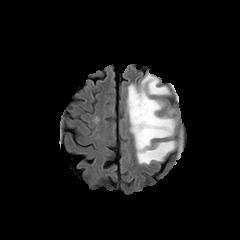
FLAIR magnetic resonance.
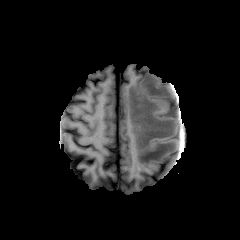
T1-weighted MR image of the same slice.
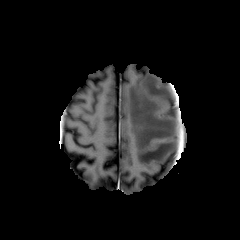
Post-contrast T1-weighted MR image.
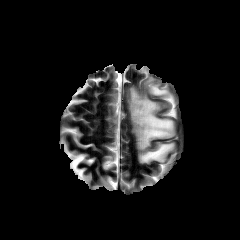
T2-weighted MR image.
Axial plane. Head.
<segmentation>
  <peritumoral_edema><box>127,74,175,164</box></peritumoral_edema>
</segmentation>